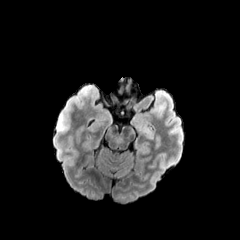
FLAIR magnetic resonance.
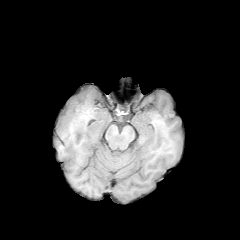
T1-weighted MR of the same slice.
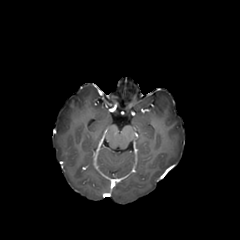
Same slice, post-contrast T1-weighted MRI.
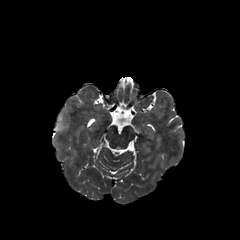
T2-weighted magnetic resonance of the same slice.
Brain
The peritumoral edema appears at left=57, top=115, right=64, bottom=130.